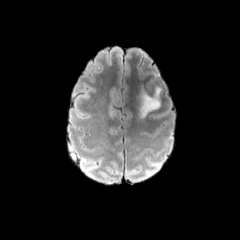
FLAIR MRI.
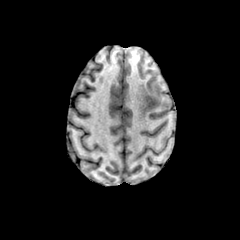
T1-weighted MR.
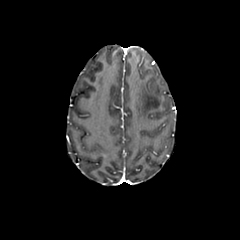
Post-contrast T1-weighted magnetic resonance.
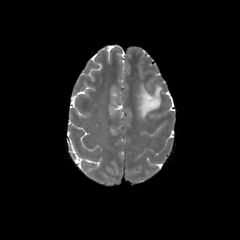
T2-weighted MR.
Axial slice
<segmentation>
  <peritumoral_edema>140,86,161,117</peritumoral_edema>
</segmentation>